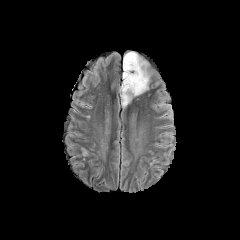
FLAIR magnetic resonance.
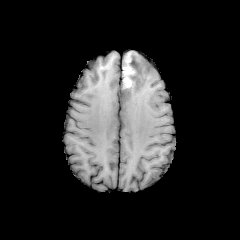
T1-weighted MR.
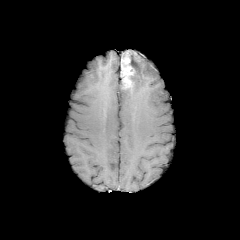
Post-contrast T1-weighted MR image of the same slice.
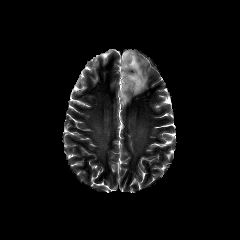
Same slice, T2-weighted magnetic resonance.
Axial plane; Brain
The enhancing tumor is bounded by 122, 52, 134, 90. The necrotic tumor core lies within 129, 52, 137, 89. The peritumoral edema appears at 119, 51, 149, 106.